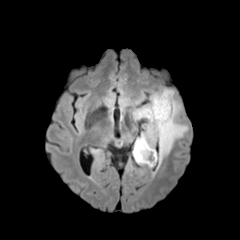
FLAIR MRI.
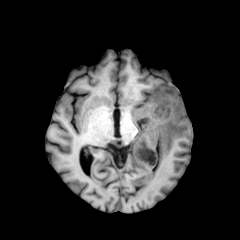
T1-weighted MR image.
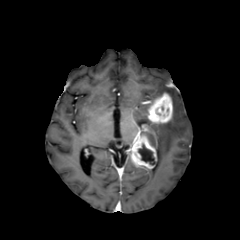
Post-contrast T1-weighted magnetic resonance of the same slice.
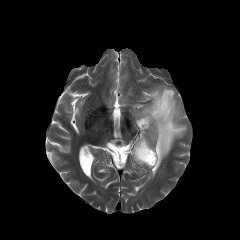
T2-weighted MR image.
Brain
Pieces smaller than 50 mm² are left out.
The 2 largest enhancing tumor regions are bounded by rect(131, 135, 156, 168); rect(147, 92, 172, 123). The largest peritumoral edema region is at rect(133, 88, 187, 168). The necrotic tumor core is located at rect(138, 144, 154, 165).